FLAIR magnetic resonance.
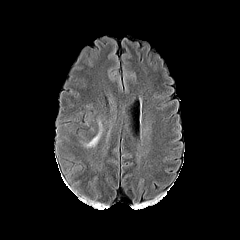
T1-weighted MR.
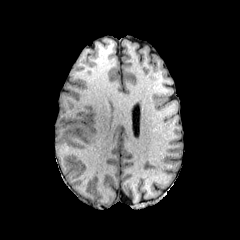
Post-contrast T1-weighted MR.
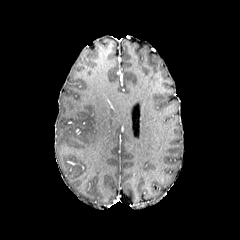
T2-weighted MR image.
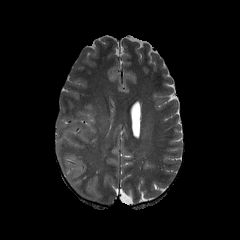
Head; 240x240
Annotated regions:
• peritumoral edema: (x1=84, y1=123, x2=102, y2=148)